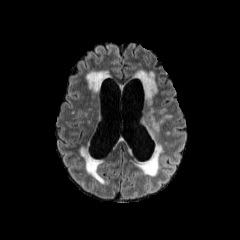
FLAIR MR.
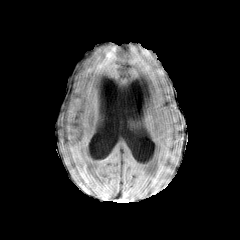
T1-weighted magnetic resonance of the same slice.
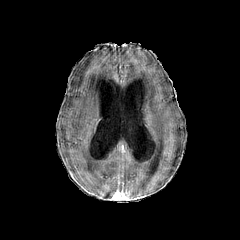
Post-contrast T1-weighted MRI.
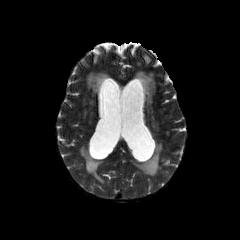
T2-weighted MR.
Brain | Axial slice
{
  "peritumoral_edema": [
    "140, 112, 159, 135"
  ]
}